Image covers 240 mm x 240 mm, Slice 43 of 155, Brain, 240x240
FLAIR MR.
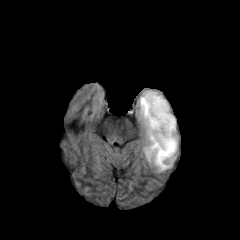
T1-weighted MRI.
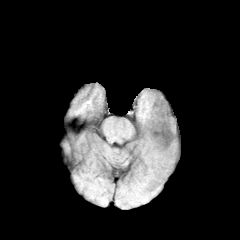
Post-contrast T1-weighted magnetic resonance.
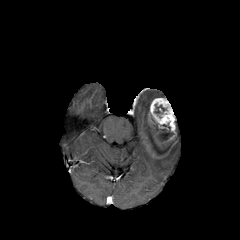
T2-weighted MRI.
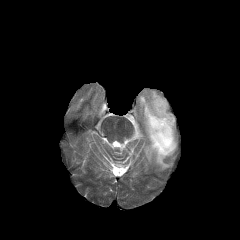
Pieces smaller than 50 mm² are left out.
Annotated regions:
* necrotic tumor core: x1=157, y1=129, x2=173, y2=141; x1=148, y1=125, x2=174, y2=155
* peritumoral edema: x1=135, y1=89, x2=177, y2=171
* enhancing tumor: x1=145, y1=97, x2=177, y2=158